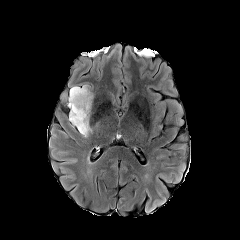
FLAIR MR.
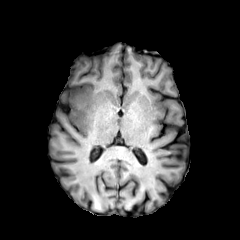
T1-weighted MR image of the same slice.
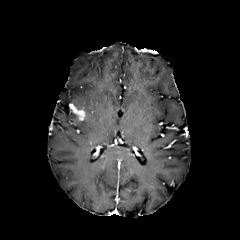
Post-contrast T1-weighted MR image.
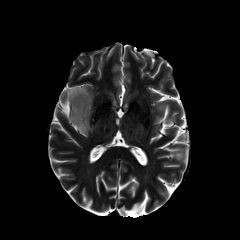
T2-weighted magnetic resonance of the same slice.
Head | Axial plane
<segmentation>
  <peritumoral_edema>69,110,74,124; 68,84,93,137</peritumoral_edema>
  <enhancing_tumor>69,103,85,124</enhancing_tumor>
</segmentation>